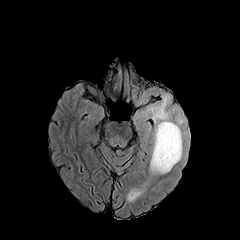
FLAIR MR.
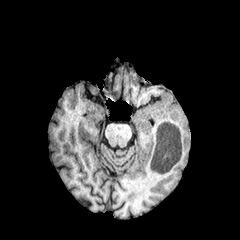
Same slice, T1-weighted MR.
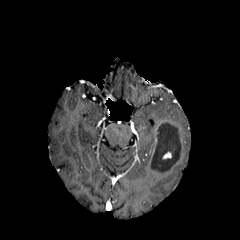
Post-contrast T1-weighted MRI.
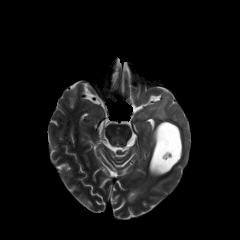
Same slice, T2-weighted MR image.
Head
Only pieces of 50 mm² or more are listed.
peritumoral edema: [144, 94, 185, 174]
necrotic tumor core: [152, 122, 181, 171]
enhancing tumor: [162, 151, 171, 159]